FLAIR magnetic resonance.
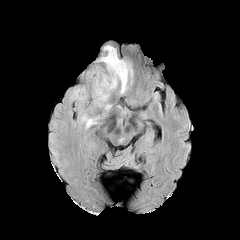
T1-weighted MR image.
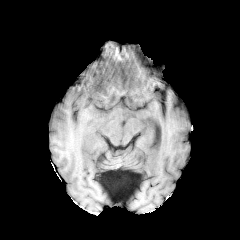
Post-contrast T1-weighted MR.
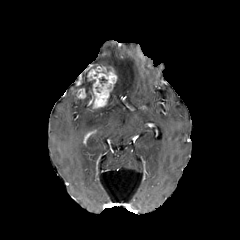
T2-weighted MRI.
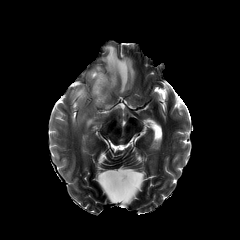
Axial plane. Brain.
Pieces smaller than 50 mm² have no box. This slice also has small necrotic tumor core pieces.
{"peritumoral_edema": [{"x1": 71, "y1": 87, "x2": 89, "y2": 102}, {"x1": 80, "y1": 113, "x2": 99, "y2": 128}, {"x1": 100, "y1": 46, "x2": 133, "y2": 94}], "enhancing_tumor": [{"x1": 87, "y1": 66, "x2": 117, "y2": 109}, {"x1": 73, "y1": 87, "x2": 86, "y2": 99}]}